FLAIR magnetic resonance.
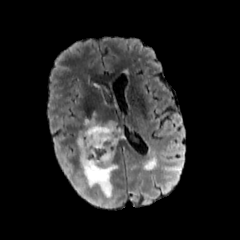
T1-weighted MRI.
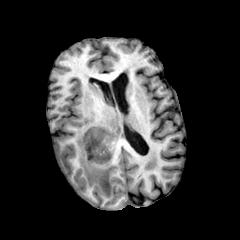
Post-contrast T1-weighted MR.
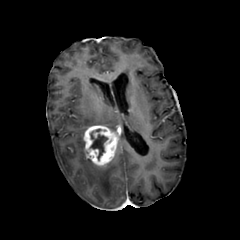
T2-weighted MR image.
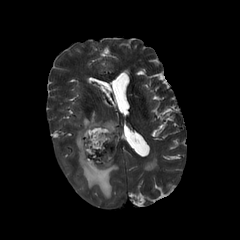
Axial view | Brain
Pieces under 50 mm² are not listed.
<segmentation>
  <enhancing_tumor>box=[83, 125, 120, 166]</enhancing_tumor>
  <necrotic_tumor_core>box=[90, 129, 107, 159]</necrotic_tumor_core>
  <peritumoral_edema>box=[76, 131, 118, 198]; box=[84, 113, 116, 130]</peritumoral_edema>
</segmentation>